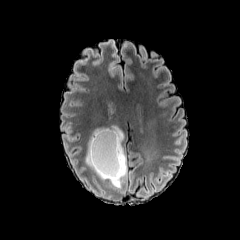
FLAIR MRI.
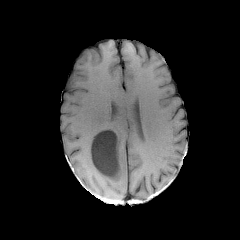
T1-weighted MRI.
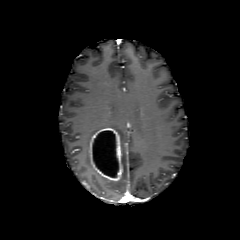
Same slice, post-contrast T1-weighted MR image.
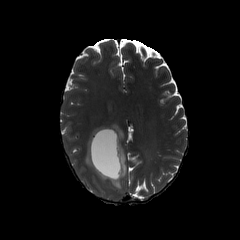
T2-weighted MR image.
Brain. Axial view.
peritumoral edema: rect(85, 125, 126, 187) | enhancing tumor: rect(89, 128, 122, 181) | necrotic tumor core: rect(92, 130, 118, 177)